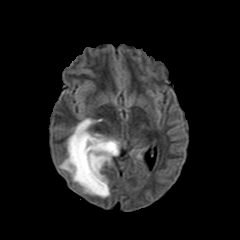
FLAIR MRI.
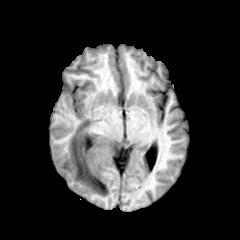
T1-weighted MR of the same slice.
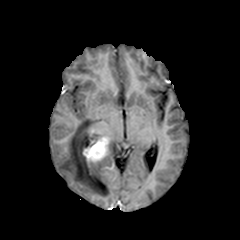
Post-contrast T1-weighted MRI.
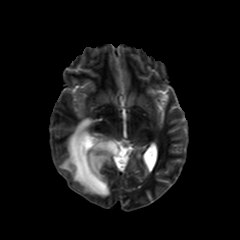
T2-weighted MR image.
240x240
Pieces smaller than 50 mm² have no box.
{
  "enhancing_tumor": [
    "box(82, 137, 109, 163)"
  ],
  "peritumoral_edema": [
    "box(59, 118, 120, 197)"
  ]
}